Axial view.
FLAIR MRI.
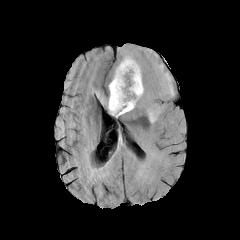
T1-weighted MRI.
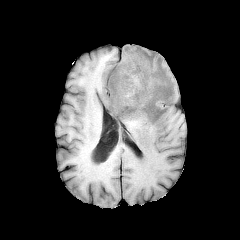
Post-contrast T1-weighted MR image.
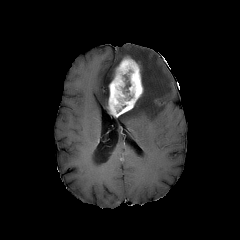
T2-weighted MR image.
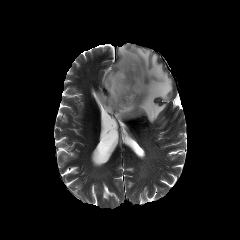
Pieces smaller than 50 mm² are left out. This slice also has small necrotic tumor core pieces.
enhancing tumor at box=[107, 56, 143, 117]
peritumoral edema at box=[118, 45, 174, 123]; box=[96, 92, 108, 107]